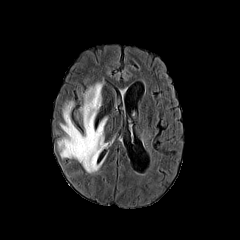
FLAIR MR image.
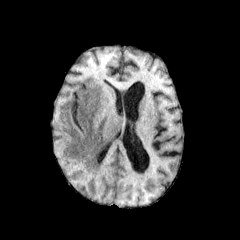
Same slice, T1-weighted MR.
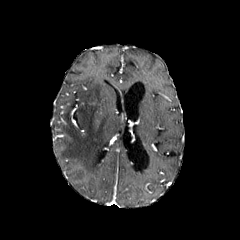
Same slice, post-contrast T1-weighted magnetic resonance.
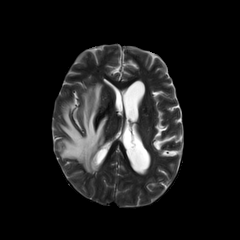
Same slice, T2-weighted MR.
Axial slice
peritumoral edema: bounding box left=57, top=82, right=107, bottom=173